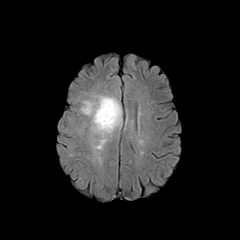
FLAIR MRI.
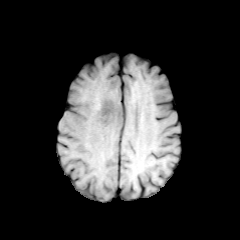
Same slice, T1-weighted MR image.
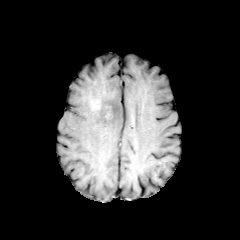
Post-contrast T1-weighted MR image of the same slice.
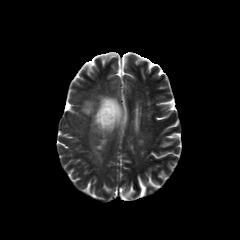
Same slice, T2-weighted magnetic resonance.
Head | Axial view | 240x240
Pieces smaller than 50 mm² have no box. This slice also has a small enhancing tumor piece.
peritumoral edema at left=79, top=93, right=122, bottom=149